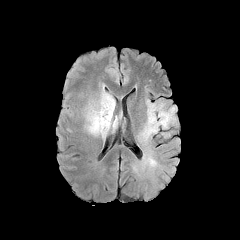
FLAIR MR image.
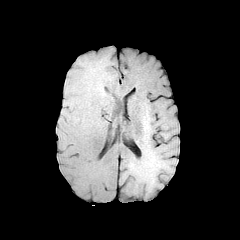
Same slice, T1-weighted magnetic resonance.
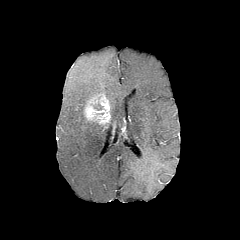
Post-contrast T1-weighted magnetic resonance of the same slice.
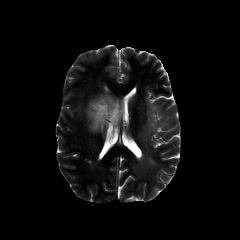
T2-weighted MR image.
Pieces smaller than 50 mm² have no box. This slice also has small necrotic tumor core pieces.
<segmentation>
  <peritumoral_edema>bbox=[81, 91, 121, 134]; bbox=[133, 99, 178, 178]</peritumoral_edema>
  <enhancing_tumor>bbox=[84, 96, 110, 124]</enhancing_tumor>
</segmentation>